FLAIR MR.
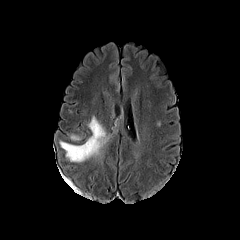
T1-weighted MR.
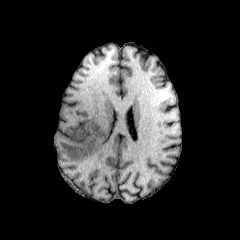
Post-contrast T1-weighted magnetic resonance.
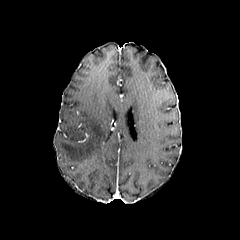
T2-weighted MR image.
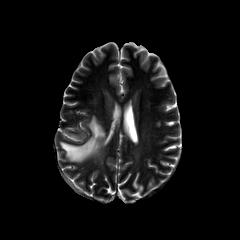
Head, 240x240
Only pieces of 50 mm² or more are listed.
The largest peritumoral edema region is located at box=[59, 116, 108, 162].